FLAIR MR image.
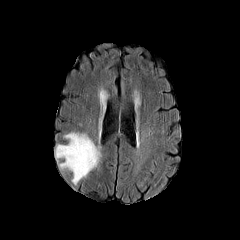
T1-weighted magnetic resonance.
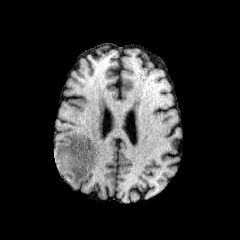
Post-contrast T1-weighted MRI.
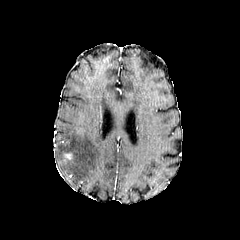
T2-weighted MRI.
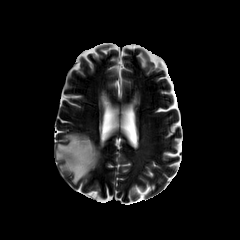
Axial slice. Head. 240x240.
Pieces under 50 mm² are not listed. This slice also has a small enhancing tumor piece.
peritumoral edema = left=55, top=132, right=101, bottom=184